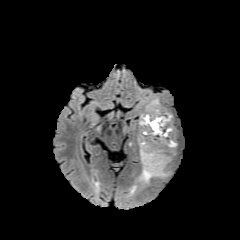
FLAIR MRI.
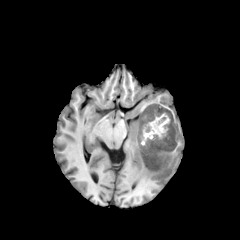
T1-weighted MR.
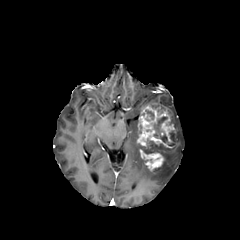
Post-contrast T1-weighted MR image.
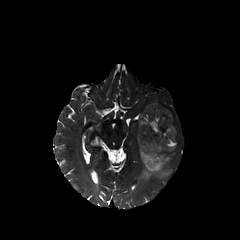
T2-weighted MRI.
Axial view
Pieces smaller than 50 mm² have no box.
enhancing tumor at (137, 105, 175, 151), (139, 146, 165, 170)
necrotic tumor core at (142, 138, 171, 156), (151, 116, 174, 146)
peritumoral edema at (138, 153, 174, 182)